FLAIR MR.
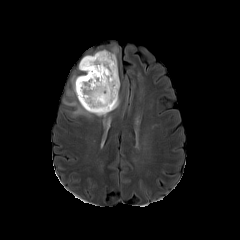
T1-weighted MRI.
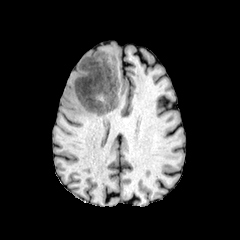
Post-contrast T1-weighted MR image.
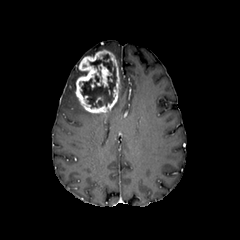
T2-weighted magnetic resonance.
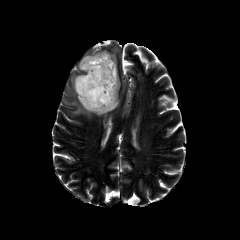
Axial view. Brain.
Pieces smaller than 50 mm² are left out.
enhancing tumor = [x1=75, y1=50, x2=119, y2=114]
necrotic tumor core = [x1=81, y1=54, x2=116, y2=107]
peritumoral edema = [x1=64, y1=97, x2=119, y2=118], [x1=67, y1=71, x2=87, y2=96], [x1=111, y1=47, x2=117, y2=59]